Image covers 240 mm x 240 mm | Axial plane | Brain
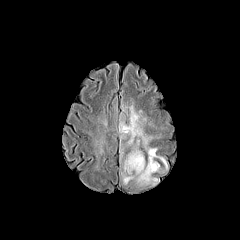
FLAIR MRI.
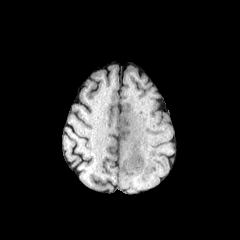
T1-weighted MRI.
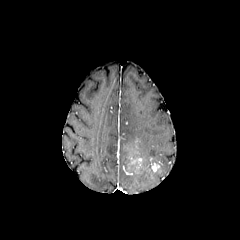
Post-contrast T1-weighted MR of the same slice.
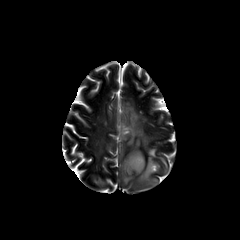
T2-weighted magnetic resonance.
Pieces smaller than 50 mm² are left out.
{"enhancing_tumor": ["bbox(151, 163, 159, 171)", "bbox(127, 154, 142, 173)"], "peritumoral_edema": ["bbox(89, 132, 105, 158)", "bbox(118, 97, 169, 189)", "bbox(98, 114, 108, 126)"]}